FLAIR MR.
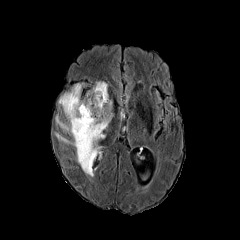
T1-weighted magnetic resonance.
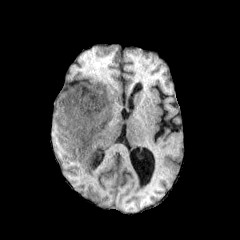
Post-contrast T1-weighted magnetic resonance.
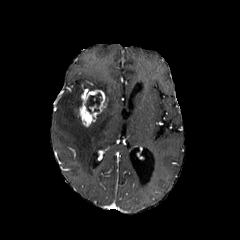
T2-weighted MR image.
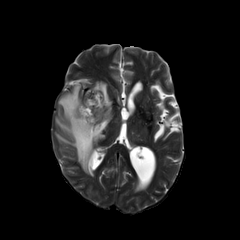
Head | 240x240 px
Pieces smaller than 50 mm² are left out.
The largest enhancing tumor region is at left=76, top=89, right=106, bottom=126. The largest necrotic tumor core region is at left=86, top=93, right=102, bottom=113. The peritumoral edema lies within left=55, top=81, right=112, bottom=176.